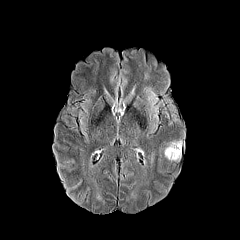
FLAIR MR image.
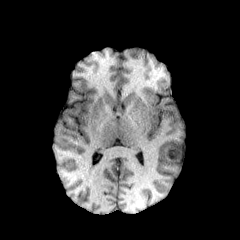
T1-weighted MR of the same slice.
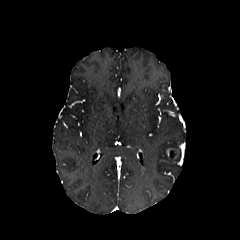
Post-contrast T1-weighted MRI.
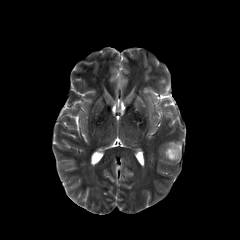
Same slice, T2-weighted MR image.
Head.
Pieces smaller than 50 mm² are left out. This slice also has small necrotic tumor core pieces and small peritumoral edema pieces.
<segmentation>
  <enhancing_tumor>bbox(166, 148, 179, 158)</enhancing_tumor>
</segmentation>